Slice 62/155 | Axial slice | Head
FLAIR MR.
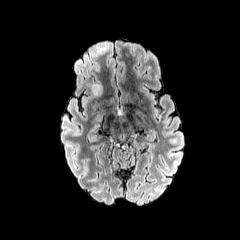
T1-weighted magnetic resonance.
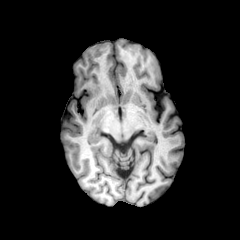
Post-contrast T1-weighted MRI.
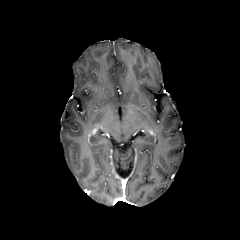
T2-weighted MR image.
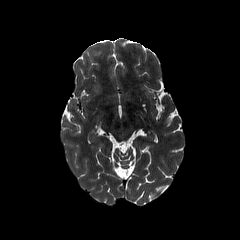
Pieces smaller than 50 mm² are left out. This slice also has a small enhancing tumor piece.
{
  "peritumoral_edema": [
    "box=[90, 82, 102, 96]"
  ]
}